Slice 38 of 155 | Axial slice | Brain
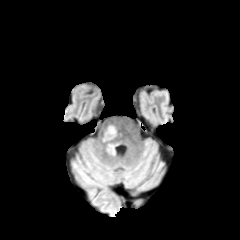
FLAIR MR image.
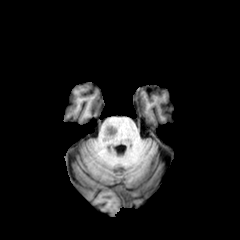
Same slice, T1-weighted MR image.
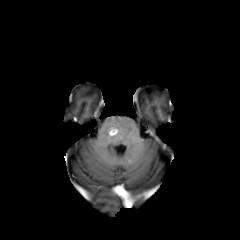
Post-contrast T1-weighted MR.
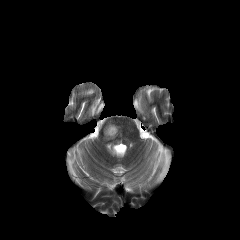
T2-weighted MR image.
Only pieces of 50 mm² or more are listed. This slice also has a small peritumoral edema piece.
The enhancing tumor is located at x1=108, y1=127, x2=117, y2=136.